FLAIR MR image.
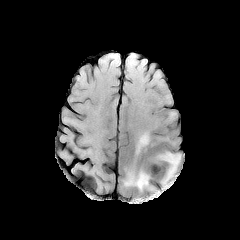
T1-weighted MR.
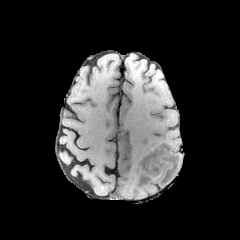
Post-contrast T1-weighted MRI.
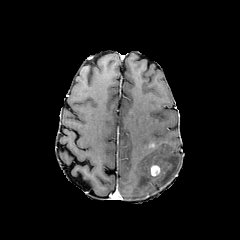
T2-weighted MR.
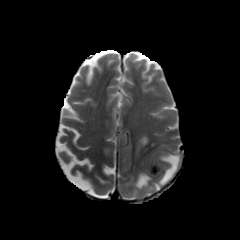
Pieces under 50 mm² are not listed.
3 peritumoral edema regions are bounded by (x1=125, y1=156, x2=153, y2=190), (x1=148, y1=152, x2=180, y2=185), (x1=135, y1=134, x2=148, y2=155). The largest enhancing tumor region is at (x1=150, y1=166, x2=159, y2=175).